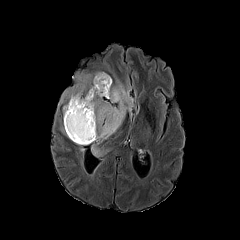
FLAIR MR image.
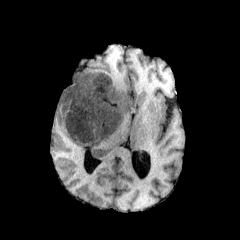
Same slice, T1-weighted MR image.
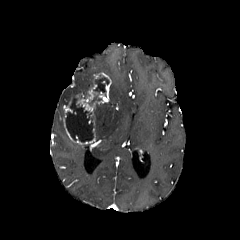
Post-contrast T1-weighted MRI.
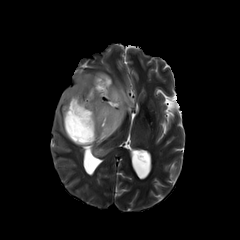
T2-weighted MR image.
Brain
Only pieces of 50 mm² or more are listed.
<segmentation>
  <peritumoral_edema>region(92, 147, 102, 156); region(96, 78, 134, 140); region(59, 73, 92, 105)</peritumoral_edema>
  <necrotic_tumor_core>region(94, 77, 109, 92); region(65, 96, 93, 142)</necrotic_tumor_core>
  <enhancing_tumor>region(63, 72, 111, 145)</enhancing_tumor>
</segmentation>